FLAIR MR.
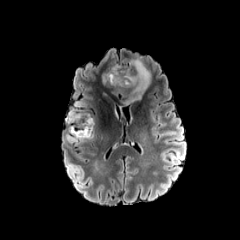
T1-weighted MRI.
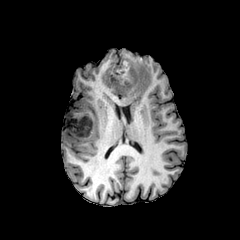
Post-contrast T1-weighted magnetic resonance.
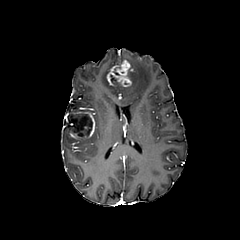
T2-weighted magnetic resonance.
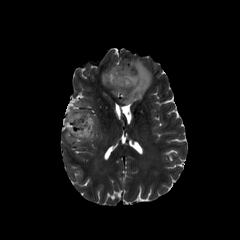
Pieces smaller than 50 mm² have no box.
The 2 largest enhancing tumor regions are bounded by (x1=106, y1=60, x2=131, y2=87), (x1=67, y1=111, x2=95, y2=139). The largest necrotic tumor core region lies within (x1=67, y1=114, x2=92, y2=137). The 2 largest peritumoral edema regions are bounded by (x1=102, y1=73, x2=107, y2=83), (x1=125, y1=59, x2=151, y2=104).